FLAIR MR image.
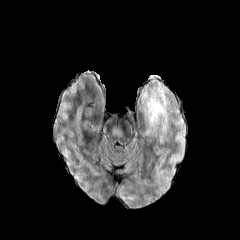
T1-weighted MR.
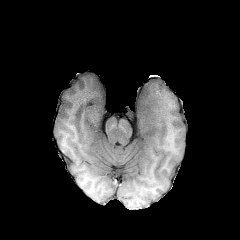
Post-contrast T1-weighted MR.
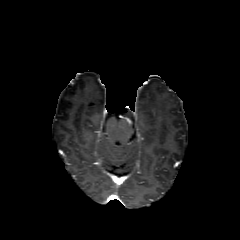
T2-weighted magnetic resonance.
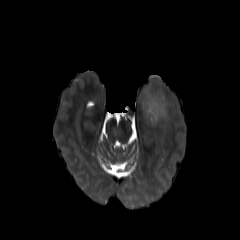
240x240 px
peritumoral edema: bounding box {"x1": 142, "y1": 87, "x2": 167, "y2": 126}